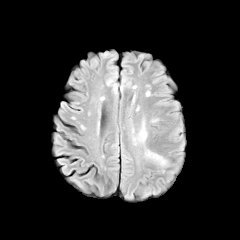
FLAIR magnetic resonance.
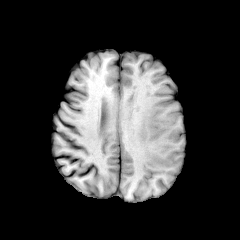
T1-weighted MRI.
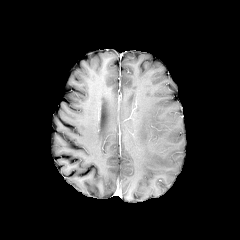
Post-contrast T1-weighted MR image.
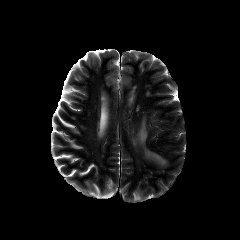
T2-weighted MRI of the same slice.
Head
peritumoral edema: <box>146,151,165,164</box>, <box>138,122,146,142</box>